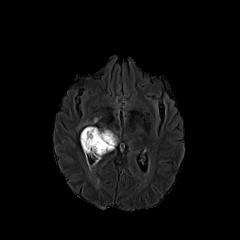
FLAIR magnetic resonance.
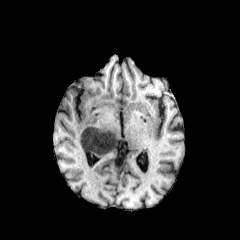
Same slice, T1-weighted MRI.
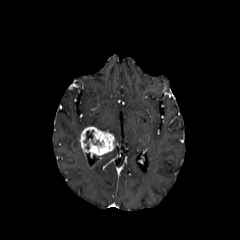
Post-contrast T1-weighted magnetic resonance.
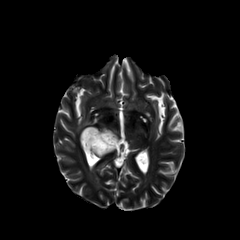
T2-weighted MR.
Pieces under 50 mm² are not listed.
peritumoral edema: bounding box [77,118,97,130]
necrotic tumor core: bounding box [84,130,98,144]
enhancing tumor: bounding box [80,126,116,168]